Head | Image covers 240 mm x 240 mm | Axial plane
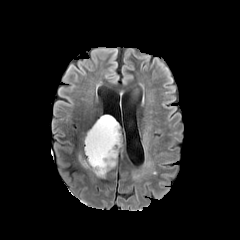
FLAIR MRI.
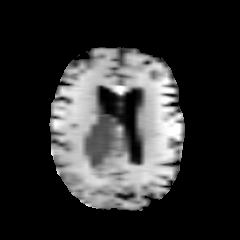
Same slice, T1-weighted magnetic resonance.
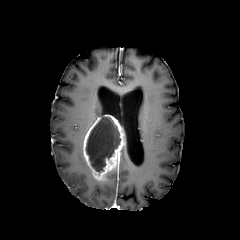
Same slice, post-contrast T1-weighted magnetic resonance.
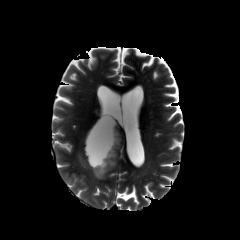
Same slice, T2-weighted MR.
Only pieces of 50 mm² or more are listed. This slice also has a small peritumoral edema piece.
{
  "enhancing_tumor": [
    "bbox(83, 114, 125, 179)"
  ],
  "necrotic_tumor_core": [
    "bbox(86, 117, 120, 172)"
  ]
}